FLAIR MRI.
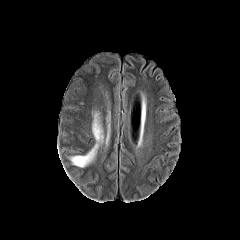
T1-weighted MRI.
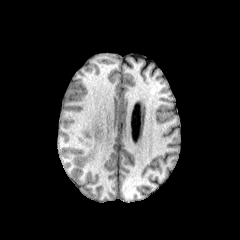
Post-contrast T1-weighted MR.
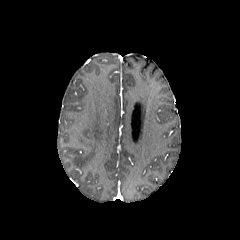
T2-weighted MR.
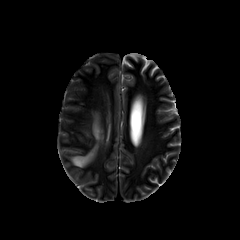
{"peritumoral_edema": ["(105, 109, 110, 142)", "(65, 111, 103, 167)"]}